Axial plane, Image covers 240 mm x 240 mm
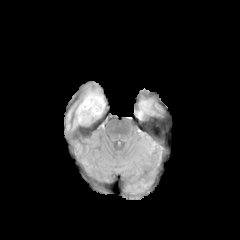
FLAIR MRI.
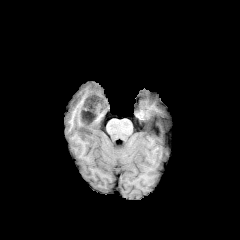
T1-weighted MR of the same slice.
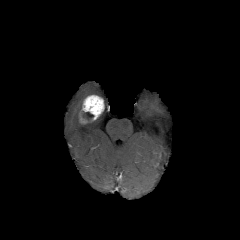
Post-contrast T1-weighted MR image.
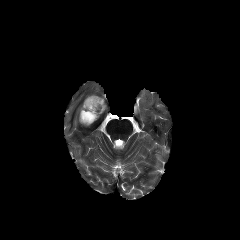
T2-weighted magnetic resonance.
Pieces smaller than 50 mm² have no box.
Annotated regions:
- necrotic tumor core: bbox=[82, 112, 93, 120]
- enhancing tumor: bbox=[78, 95, 104, 125]
- peritumoral edema: bbox=[66, 88, 103, 129]